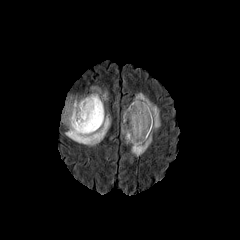
FLAIR MRI.
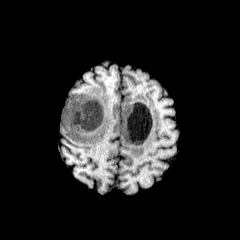
T1-weighted MR of the same slice.
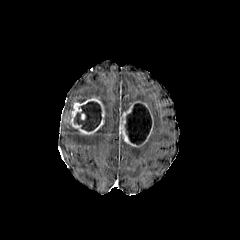
Same slice, post-contrast T1-weighted magnetic resonance.
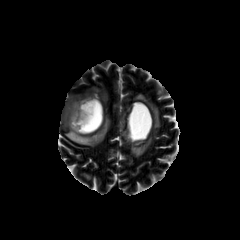
T2-weighted MRI.
Axial view. Brain.
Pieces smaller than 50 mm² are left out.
necrotic_tumor_core:
  - left=125, top=103, right=151, bottom=144
  - left=74, top=101, right=101, bottom=131
peritumoral_edema:
  - left=74, top=87, right=107, bottom=104
  - left=132, top=93, right=160, bottom=130
  - left=65, top=114, right=110, bottom=146
  - left=131, top=134, right=152, bottom=156
enhancing_tumor:
  - left=120, top=101, right=153, bottom=147
  - left=64, top=96, right=104, bottom=134